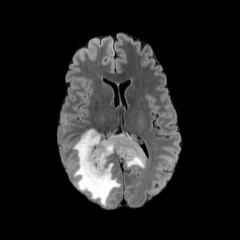
FLAIR MR.
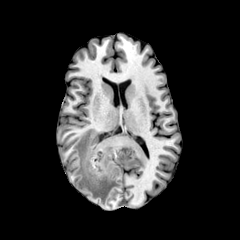
T1-weighted MR image of the same slice.
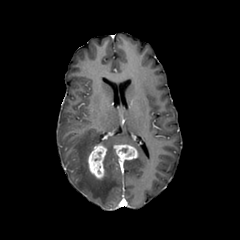
Post-contrast T1-weighted MR of the same slice.
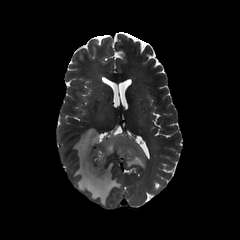
T2-weighted magnetic resonance.
Brain. Image size 240x240.
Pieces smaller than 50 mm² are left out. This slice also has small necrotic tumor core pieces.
{
  "enhancing_tumor": [
    "114,144,137,160",
    "88,144,106,179"
  ],
  "peritumoral_edema": [
    "69,129,145,206"
  ]
}